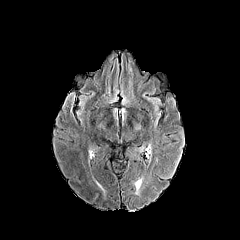
FLAIR magnetic resonance.
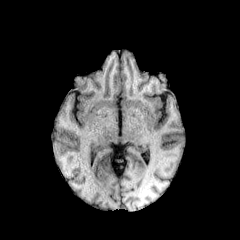
T1-weighted MR of the same slice.
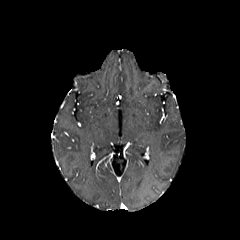
Post-contrast T1-weighted magnetic resonance.
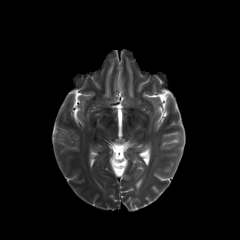
T2-weighted MRI.
Axial plane; Brain
peritumoral edema: 135,178,142,191